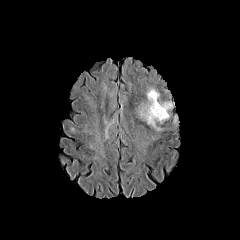
FLAIR MR image.
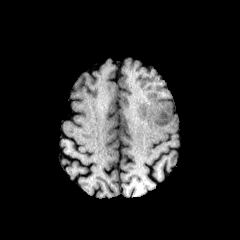
T1-weighted magnetic resonance of the same slice.
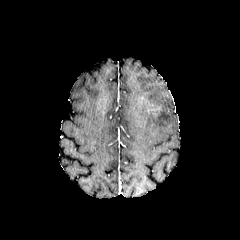
Post-contrast T1-weighted MR of the same slice.
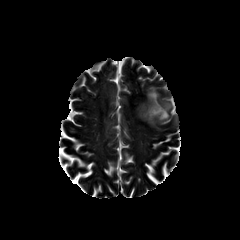
T2-weighted MRI.
Head, Axial plane
The peritumoral edema is bounded by {"x1": 138, "y1": 89, "x2": 172, "y2": 130}. The enhancing tumor lies within {"x1": 146, "y1": 103, "x2": 161, "y2": 115}.